FLAIR MR image.
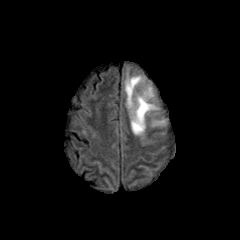
T1-weighted MR.
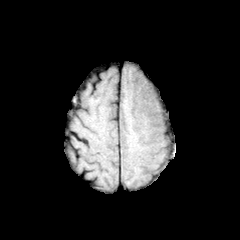
Post-contrast T1-weighted MR.
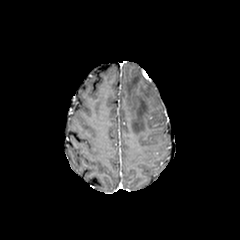
T2-weighted MR.
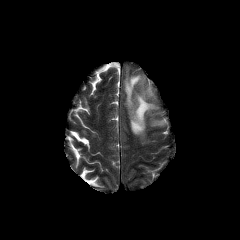
240x240 | Axial plane
<segmentation>
  <peritumoral_edema>rect(124, 76, 158, 134); rect(152, 120, 164, 125)</peritumoral_edema>
</segmentation>